FLAIR MRI.
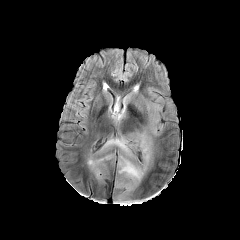
T1-weighted MR image.
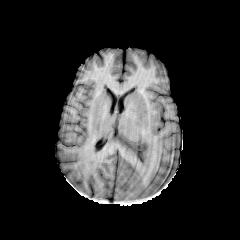
Post-contrast T1-weighted MR.
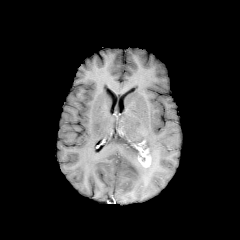
T2-weighted MRI.
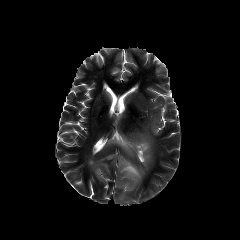
Brain | Image size 240x240
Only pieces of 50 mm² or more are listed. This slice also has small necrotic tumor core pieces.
The enhancing tumor is at (left=133, top=140, right=150, bottom=166). The 3 largest peritumoral edema regions appear at (left=151, top=115, right=158, bottom=135), (left=88, top=155, right=114, bottom=172), (left=103, top=131, right=152, bottom=190).